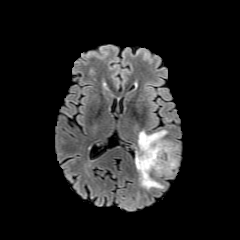
FLAIR MR image.
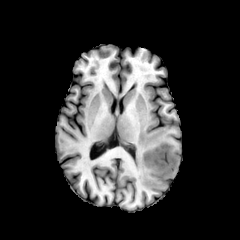
T1-weighted MR.
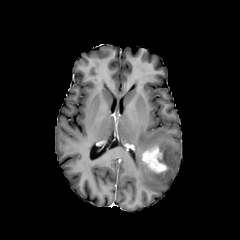
Same slice, post-contrast T1-weighted magnetic resonance.
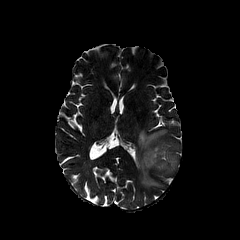
T2-weighted MR of the same slice.
Brain | 240x240
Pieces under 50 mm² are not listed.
peritumoral edema: l=135, t=130, r=176, b=189
enhancing tumor: l=142, t=146, r=167, b=172